Head. 240x240. Image width 240 mm.
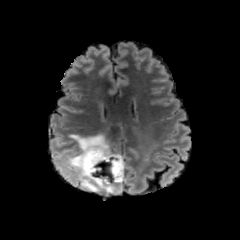
FLAIR MRI.
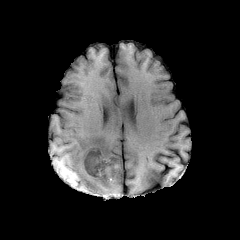
Same slice, T1-weighted magnetic resonance.
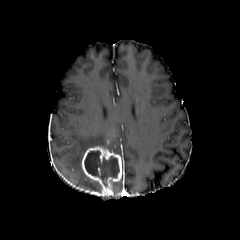
Post-contrast T1-weighted MR.
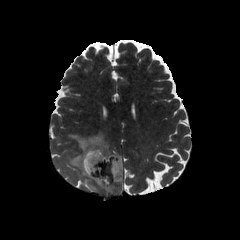
T2-weighted MR.
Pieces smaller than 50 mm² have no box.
peritumoral_edema:
  - rect(68, 134, 112, 192)
  - rect(113, 178, 124, 192)
enhancing_tumor:
  - rect(81, 146, 123, 194)
necrotic_tumor_core:
  - rect(85, 151, 119, 186)